Axial slice
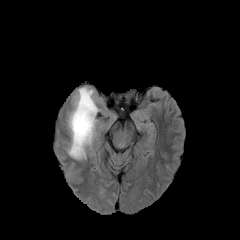
FLAIR magnetic resonance.
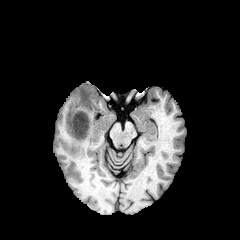
Same slice, T1-weighted MR.
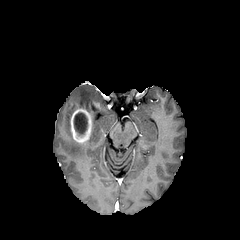
Same slice, post-contrast T1-weighted magnetic resonance.
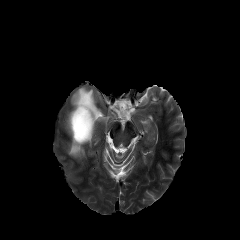
T2-weighted magnetic resonance of the same slice.
The necrotic tumor core is located at region(74, 113, 87, 134). The enhancing tumor appears at region(70, 107, 92, 144). The peritumoral edema appears at region(68, 87, 98, 159).